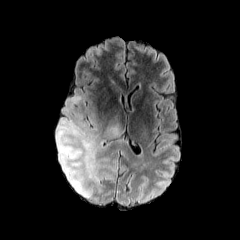
FLAIR MR.
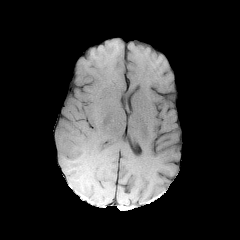
T1-weighted magnetic resonance.
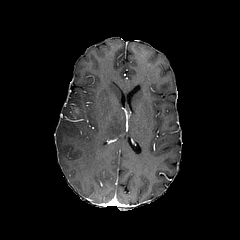
Post-contrast T1-weighted MR image of the same slice.
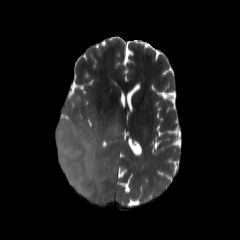
T2-weighted MRI.
Brain, Axial view
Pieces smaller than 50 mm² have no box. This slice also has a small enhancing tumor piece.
Segmented structures:
• peritumoral edema: [x1=104, y1=121, x2=123, y2=139], [x1=56, y1=95, x2=115, y2=198]